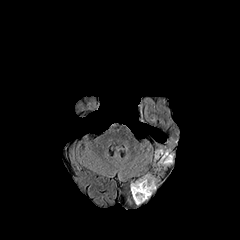
FLAIR MRI.
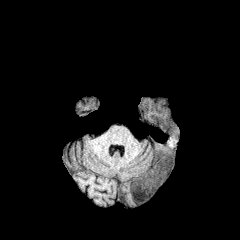
Same slice, T1-weighted MR.
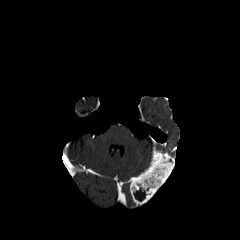
Post-contrast T1-weighted magnetic resonance.
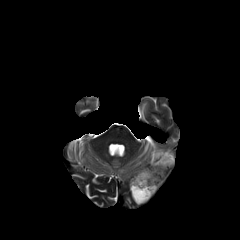
T2-weighted MRI.
240x240 px
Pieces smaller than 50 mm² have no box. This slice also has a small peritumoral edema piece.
necrotic tumor core: bounding box 133, 187, 145, 201
enhancing tumor: bounding box 130, 150, 174, 205